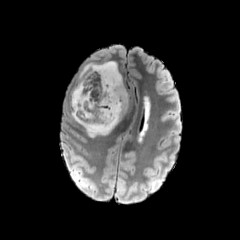
FLAIR magnetic resonance.
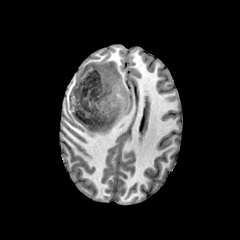
T1-weighted MR of the same slice.
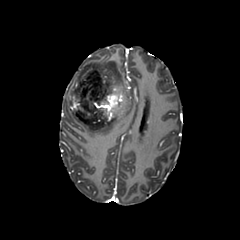
Post-contrast T1-weighted MRI.
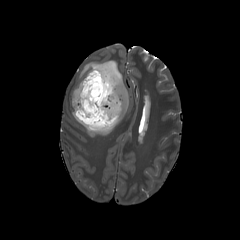
T2-weighted MR.
Image size 240x240 | Brain | Axial plane
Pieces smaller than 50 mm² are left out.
The largest enhancing tumor region appears at box(72, 70, 127, 124). The 2 largest peritumoral edema regions appear at box(72, 61, 124, 95); box(72, 90, 128, 137). The necrotic tumor core is located at box(76, 72, 108, 124).